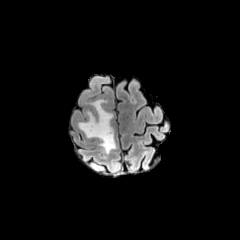
FLAIR MRI.
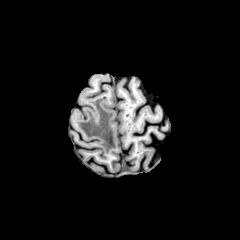
T1-weighted MR.
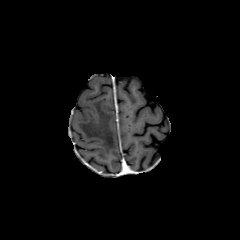
Post-contrast T1-weighted MR image.
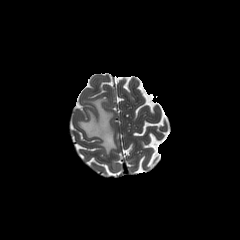
T2-weighted MR image of the same slice.
Axial plane. Head.
peritumoral_edema:
  - [x1=77, y1=98, x2=116, y2=154]